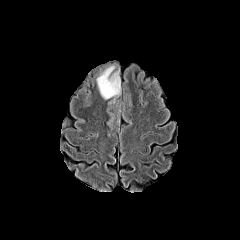
FLAIR magnetic resonance.
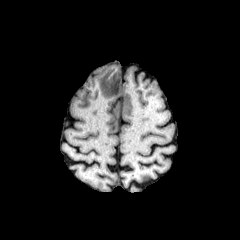
T1-weighted MR image.
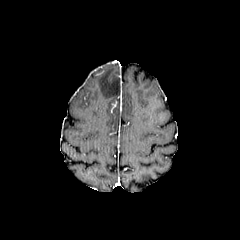
Post-contrast T1-weighted MR.
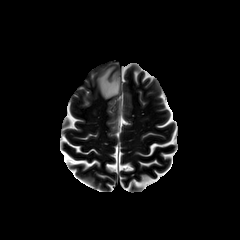
T2-weighted magnetic resonance.
Axial plane.
The peritumoral edema is at <bbox>97, 66, 120, 99</bbox>.